Brain; Axial plane; Slice index 51
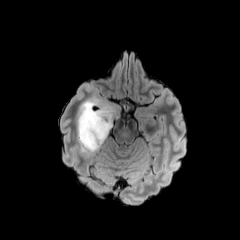
FLAIR MRI.
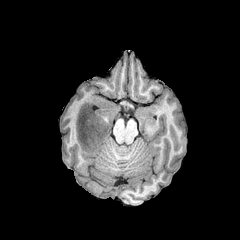
Same slice, T1-weighted magnetic resonance.
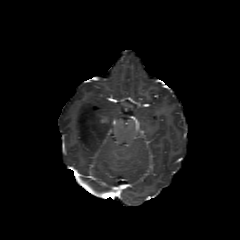
Post-contrast T1-weighted MR.
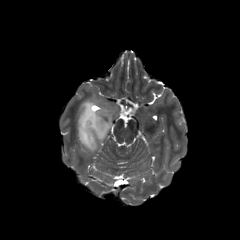
T2-weighted MR of the same slice.
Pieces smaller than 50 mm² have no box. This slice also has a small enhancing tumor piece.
peritumoral edema: bounding box rect(77, 97, 121, 154)